240x240 | Head | Image covers 240 mm x 240 mm
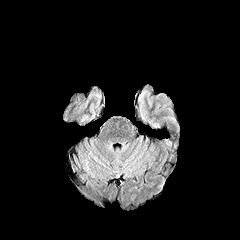
FLAIR magnetic resonance.
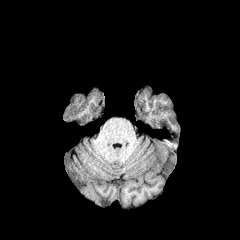
T1-weighted MR image of the same slice.
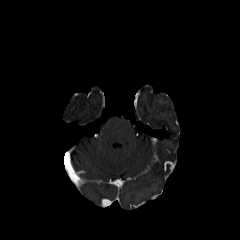
Same slice, post-contrast T1-weighted MR.
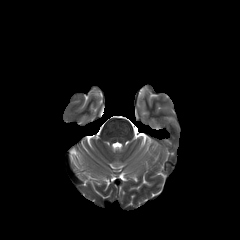
T2-weighted MRI.
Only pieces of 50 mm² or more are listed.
peritumoral edema = 164:116:176:122